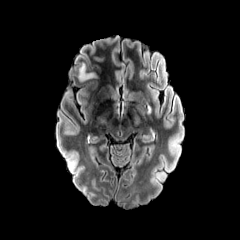
FLAIR MRI.
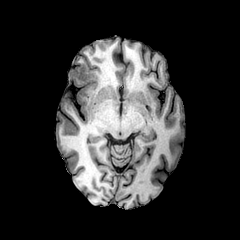
T1-weighted magnetic resonance of the same slice.
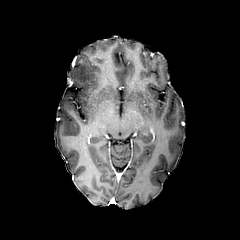
Post-contrast T1-weighted MRI.
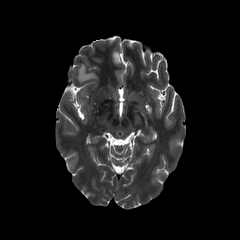
T2-weighted MRI.
Axial plane | Brain
peritumoral_edema:
  - <bbox>78, 63, 95, 81</bbox>